FLAIR magnetic resonance.
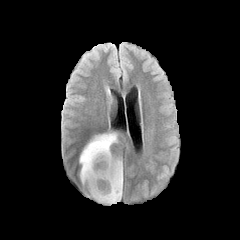
T1-weighted MRI.
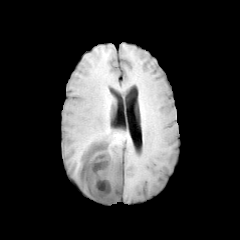
Post-contrast T1-weighted MRI.
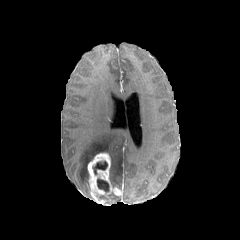
T2-weighted MR image.
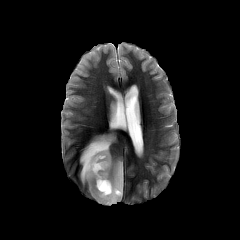
Axial view; Head
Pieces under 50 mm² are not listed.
enhancing_tumor:
  - 87:153:122:204
peritumoral_edema:
  - 79:133:128:189
necrotic_tumor_core:
  - 93:161:107:174
  - 97:178:109:192